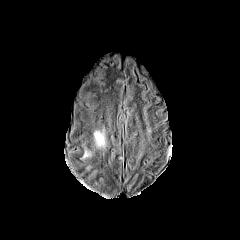
FLAIR MR.
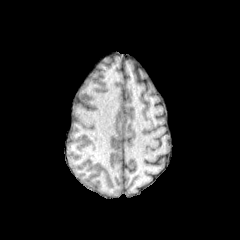
T1-weighted MR of the same slice.
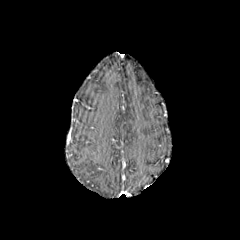
Same slice, post-contrast T1-weighted MRI.
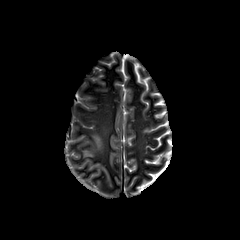
T2-weighted magnetic resonance.
Axial plane.
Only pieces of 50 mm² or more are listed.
The largest peritumoral edema region appears at l=94, t=132, r=103, b=146.